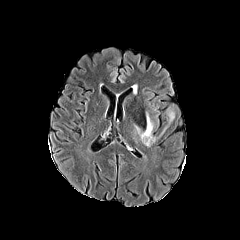
FLAIR MR.
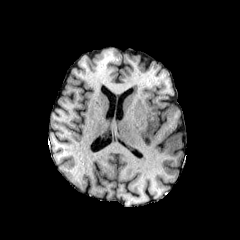
T1-weighted MRI.
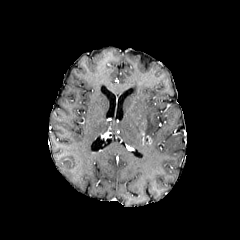
Post-contrast T1-weighted MR image.
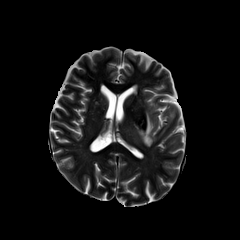
T2-weighted MR of the same slice.
Head
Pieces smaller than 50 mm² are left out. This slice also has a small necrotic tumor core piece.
enhancing_tumor:
  - <box>141,133,151,144</box>
peritumoral_edema:
  - <box>145,112,156,141</box>
  - <box>166,109,175,125</box>